Brain, Axial plane
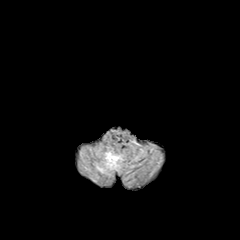
FLAIR magnetic resonance.
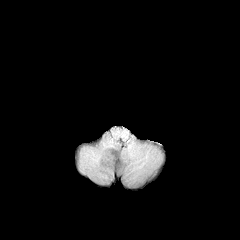
T1-weighted magnetic resonance of the same slice.
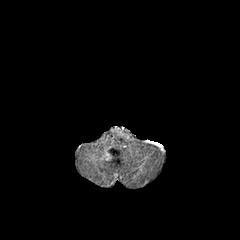
Same slice, post-contrast T1-weighted MRI.
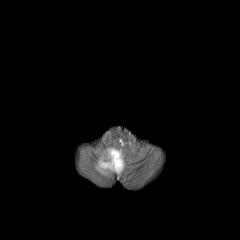
T2-weighted magnetic resonance.
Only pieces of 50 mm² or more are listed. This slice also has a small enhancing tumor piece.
The peritumoral edema is bounded by left=95, top=149, right=123, bottom=174.